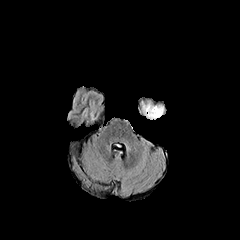
FLAIR MR image.
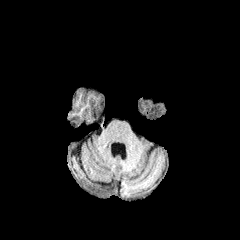
T1-weighted magnetic resonance.
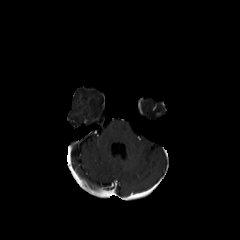
Post-contrast T1-weighted MR image of the same slice.
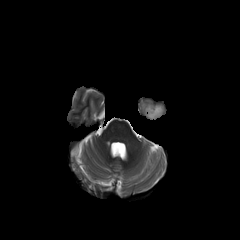
T2-weighted MR image.
240x240; Brain
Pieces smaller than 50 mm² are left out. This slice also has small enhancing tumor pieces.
The peritumoral edema is bounded by [142, 102, 163, 119].